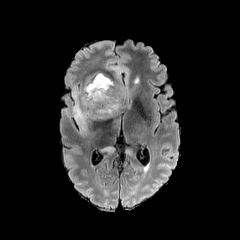
FLAIR MRI.
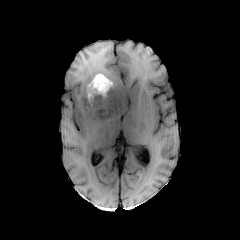
Same slice, T1-weighted MR image.
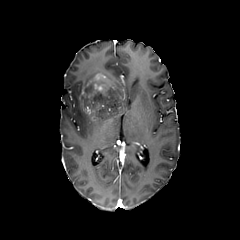
Same slice, post-contrast T1-weighted magnetic resonance.
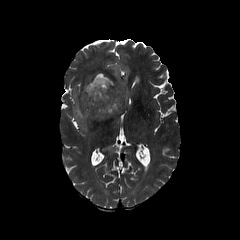
T2-weighted MRI.
Axial view
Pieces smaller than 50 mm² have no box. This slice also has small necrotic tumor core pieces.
enhancing tumor: bounding box (80, 73, 111, 100)
peritumoral edema: bounding box (72, 67, 131, 133)